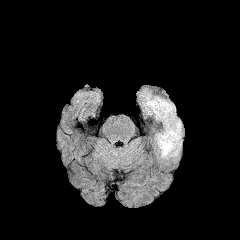
FLAIR magnetic resonance.
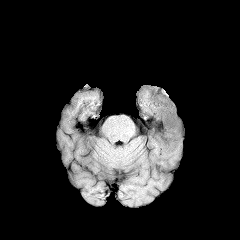
T1-weighted MR image.
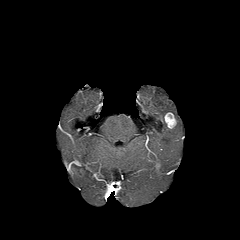
Post-contrast T1-weighted MR image.
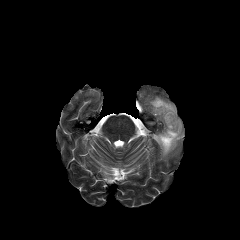
T2-weighted MRI.
Brain
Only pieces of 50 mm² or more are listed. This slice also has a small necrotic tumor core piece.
enhancing tumor at box(164, 112, 176, 128)
peritumoral edema at box(144, 94, 182, 158)